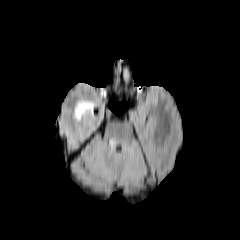
FLAIR MRI.
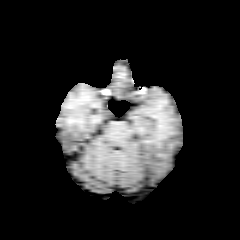
Same slice, T1-weighted magnetic resonance.
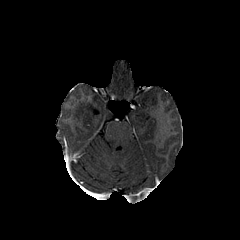
Post-contrast T1-weighted MR.
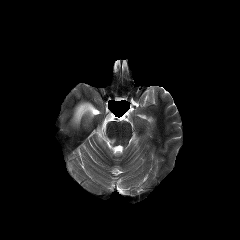
T2-weighted MR image.
Image size 240x240
peritumoral edema — left=73, top=100, right=93, bottom=121